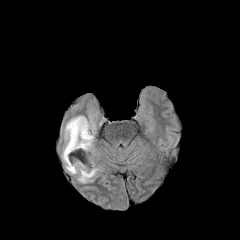
FLAIR magnetic resonance.
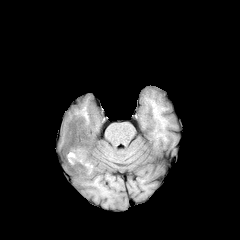
T1-weighted magnetic resonance.
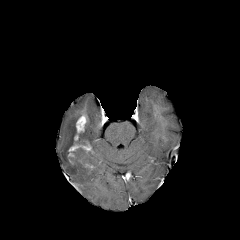
Post-contrast T1-weighted MR of the same slice.
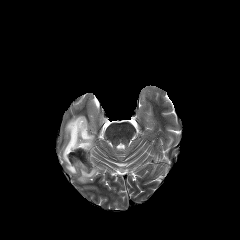
T2-weighted MR image of the same slice.
Brain. Image size 240x240.
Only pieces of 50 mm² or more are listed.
2 peritumoral edema regions appear at [79,114,95,152], [62,115,101,183]. The largest necrotic tumor core region is at [69,148,91,166]. The largest enhancing tumor region is bounded by [68,116,94,157].